Image width 240 mm, 1.00 mm slice spacing, Slice index 69, Head
FLAIR MR.
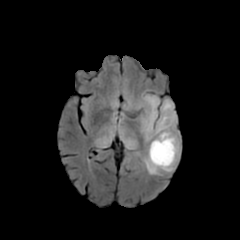
T1-weighted MRI.
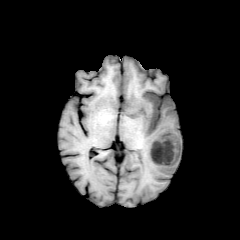
Post-contrast T1-weighted MR.
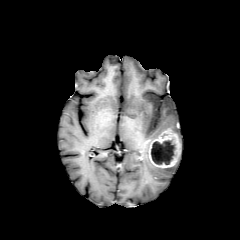
T2-weighted magnetic resonance.
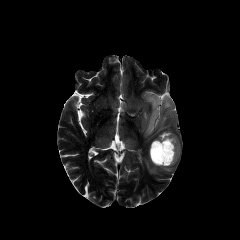
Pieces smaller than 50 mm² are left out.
necrotic tumor core = 151 140 175 164
enhancing tumor = 149 129 180 168
peritumoral edema = 137 92 180 175